Image width 240 mm. Head. 240x240 px.
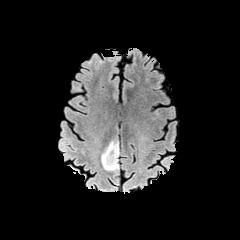
FLAIR magnetic resonance.
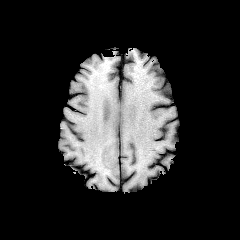
T1-weighted MRI.
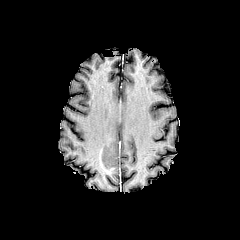
Same slice, post-contrast T1-weighted MRI.
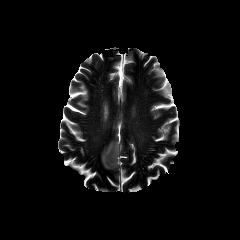
Same slice, T2-weighted MRI.
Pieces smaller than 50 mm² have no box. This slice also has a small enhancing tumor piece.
Findings:
* peritumoral edema: [101,141,118,169]